240x240
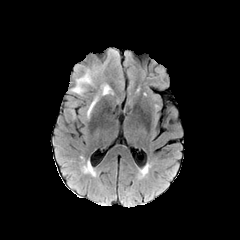
FLAIR MRI.
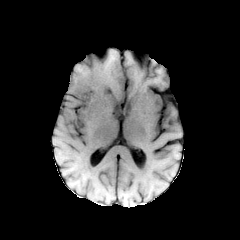
T1-weighted MR.
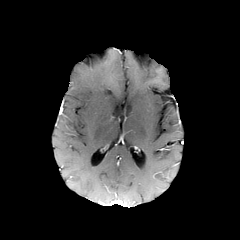
Same slice, post-contrast T1-weighted MR image.
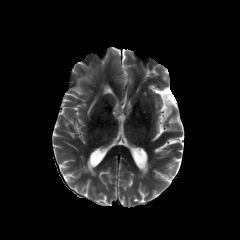
T2-weighted MRI.
3 peritumoral edema regions appear at region(72, 73, 91, 94); region(87, 97, 97, 116); region(102, 85, 110, 94).